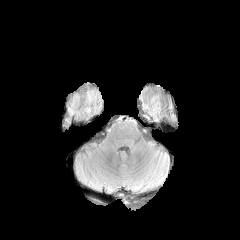
FLAIR magnetic resonance.
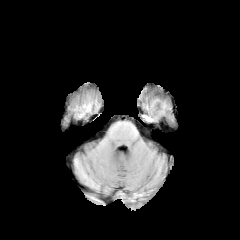
T1-weighted MR image.
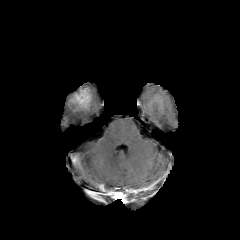
Post-contrast T1-weighted magnetic resonance.
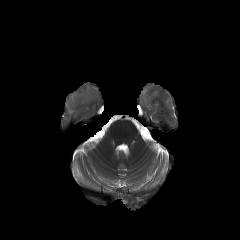
T2-weighted MR image.
Axial slice
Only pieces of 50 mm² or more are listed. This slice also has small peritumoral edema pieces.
<segmentation>
  <enhancing_tumor>(72,90,89,103)</enhancing_tumor>
</segmentation>